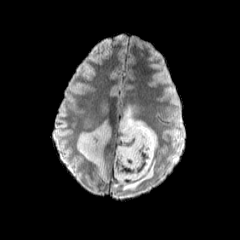
FLAIR MR image.
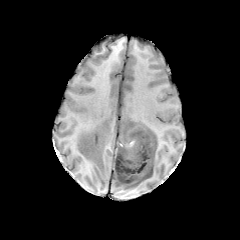
T1-weighted MR of the same slice.
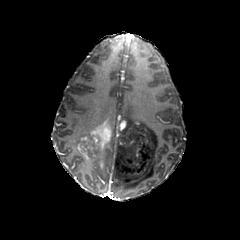
Same slice, post-contrast T1-weighted MR.
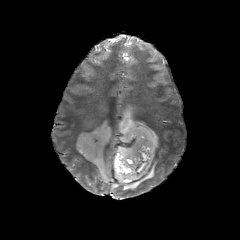
Same slice, T2-weighted MRI.
Axial slice; Head
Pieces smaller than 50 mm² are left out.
{
  "peritumoral_edema": [
    "box=[92, 152, 107, 182]",
    "box=[77, 131, 89, 143]",
    "box=[103, 108, 109, 120]",
    "box=[113, 100, 157, 190]"
  ],
  "necrotic_tumor_core": [
    "box=[88, 136, 98, 153]"
  ],
  "enhancing_tumor": [
    "box=[76, 121, 112, 161]",
    "box=[116, 115, 126, 141]"
  ]
}